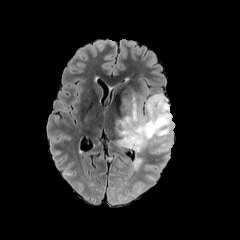
FLAIR magnetic resonance.
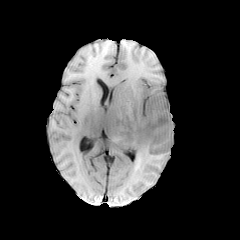
T1-weighted MRI.
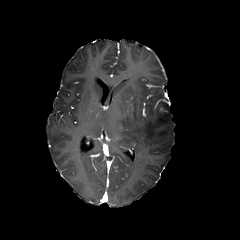
Post-contrast T1-weighted MR image.
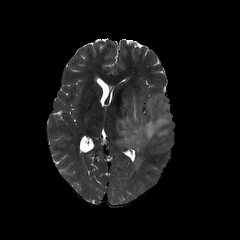
T2-weighted magnetic resonance.
Head; Image size 240x240
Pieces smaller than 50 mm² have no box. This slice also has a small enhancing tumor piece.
The 2 largest peritumoral edema regions are bounded by [x1=132, y1=158, x2=142, y2=170], [x1=116, y1=93, x2=173, y2=153].